Axial plane; 240x240 px
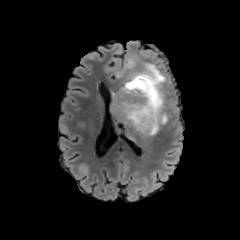
FLAIR MR image.
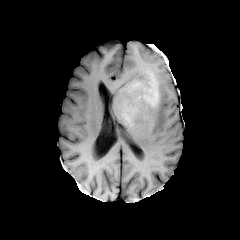
T1-weighted MR.
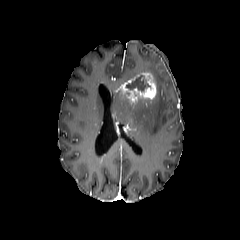
Post-contrast T1-weighted MR image.
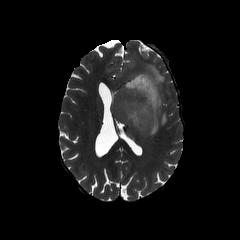
T2-weighted MRI of the same slice.
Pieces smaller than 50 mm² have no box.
peritumoral edema: bounding box (111, 63, 168, 134), (125, 56, 136, 68)
necrotic tumor core: bounding box (126, 75, 150, 91)
enhancing tumor: bounding box (119, 72, 157, 102)